FLAIR MR image.
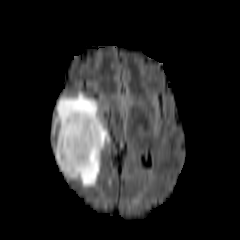
T1-weighted MRI.
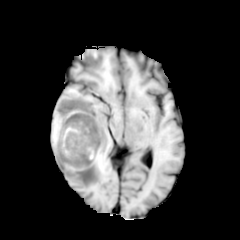
Post-contrast T1-weighted MR.
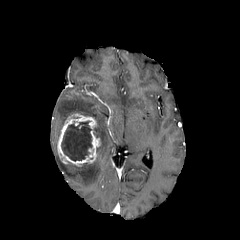
T2-weighted MR image.
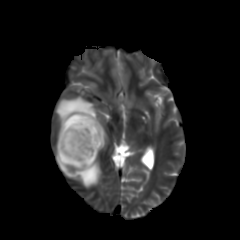
Head. Axial slice.
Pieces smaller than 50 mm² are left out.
Findings:
- peritumoral edema: (left=53, top=91, right=110, bottom=187)
- necrotic tumor core: (left=61, top=121, right=91, bottom=161)
- enhancing tumor: (left=57, top=112, right=100, bottom=166)